Image covers 240 mm x 240 mm | Axial plane
FLAIR MR image.
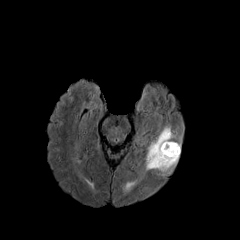
T1-weighted MR image.
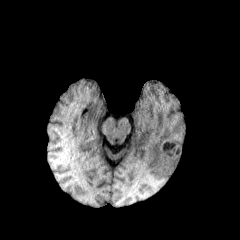
Post-contrast T1-weighted MR.
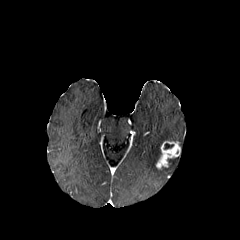
T2-weighted MR.
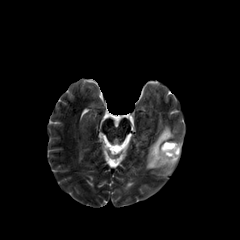
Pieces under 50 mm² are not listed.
The enhancing tumor is bounded by box(156, 141, 180, 168). The largest peritumoral edema region is at box(146, 125, 178, 174). The largest necrotic tumor core region is bounded by box(163, 143, 174, 149).